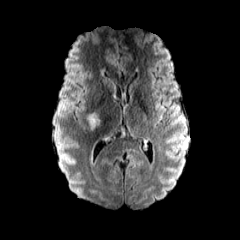
FLAIR MRI.
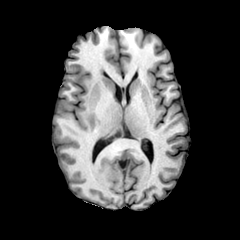
T1-weighted MR image of the same slice.
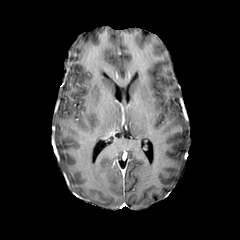
Post-contrast T1-weighted MR of the same slice.
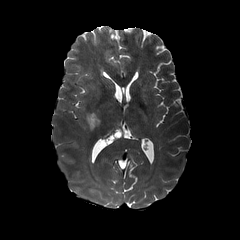
T2-weighted MRI.
240x240 | Head
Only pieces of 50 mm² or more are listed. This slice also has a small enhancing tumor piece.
peritumoral edema: bounding box 102 126 125 141, 87 112 100 130